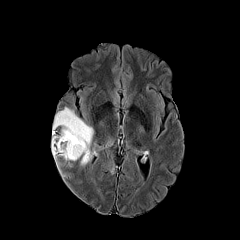
FLAIR magnetic resonance.
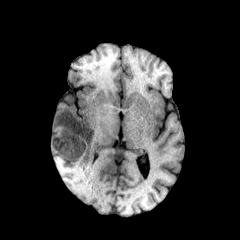
T1-weighted MR of the same slice.
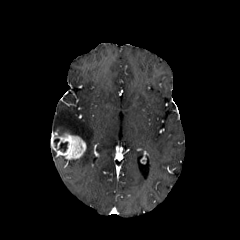
Post-contrast T1-weighted MR.
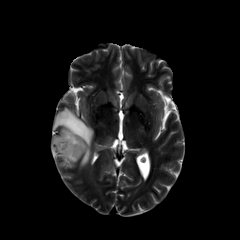
T2-weighted MR of the same slice.
Brain.
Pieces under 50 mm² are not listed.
{"necrotic_tumor_core": ["region(58, 142, 67, 152)"], "enhancing_tumor": ["region(51, 132, 86, 160)"], "peritumoral_edema": ["region(53, 107, 93, 166)"]}